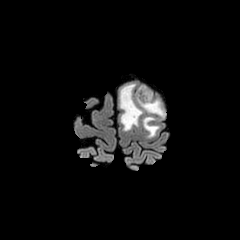
FLAIR magnetic resonance.
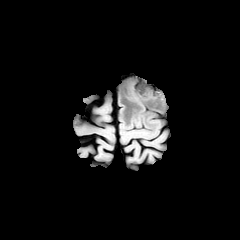
T1-weighted MR image of the same slice.
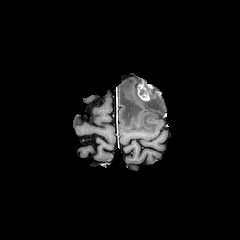
Post-contrast T1-weighted MR image of the same slice.
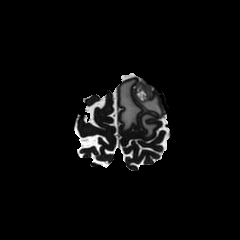
T2-weighted MR image.
Brain | Axial plane
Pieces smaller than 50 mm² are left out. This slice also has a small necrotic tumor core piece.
peritumoral edema = [119, 83, 164, 137]
enhancing tumor = [137, 82, 150, 101]